Slice 103/155. Axial slice.
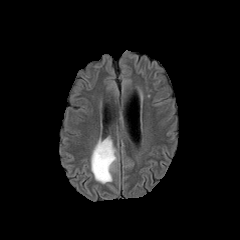
FLAIR MRI.
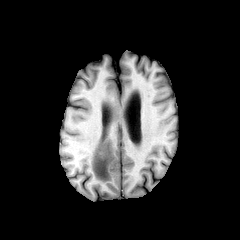
Same slice, T1-weighted magnetic resonance.
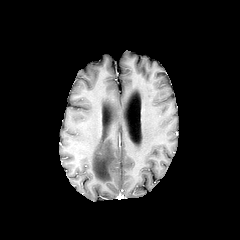
Post-contrast T1-weighted MRI of the same slice.
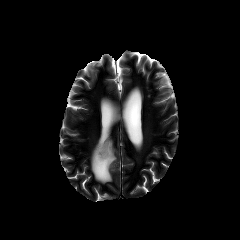
Same slice, T2-weighted MR.
peritumoral edema: bounding box [91, 136, 116, 183]